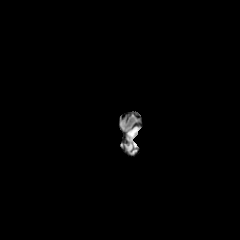
FLAIR MR.
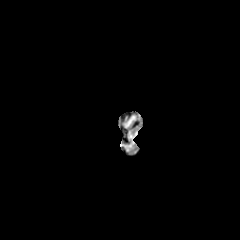
T1-weighted MRI.
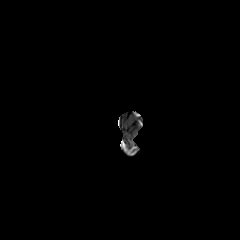
Post-contrast T1-weighted MR.
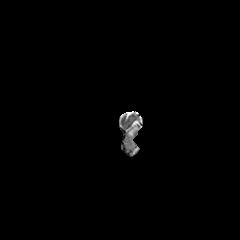
T2-weighted magnetic resonance of the same slice.
Image size 240x240. Axial view.
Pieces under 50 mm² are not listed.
peritumoral edema at 128 128 138 137